FLAIR magnetic resonance.
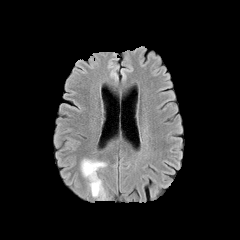
T1-weighted MRI.
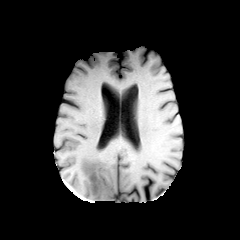
Post-contrast T1-weighted MRI.
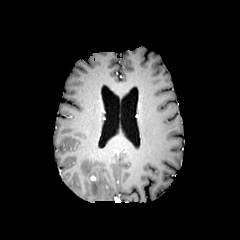
T2-weighted MR.
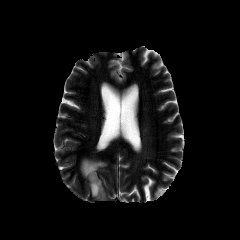
Head; Axial slice
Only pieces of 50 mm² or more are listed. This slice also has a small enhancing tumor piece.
peritumoral_edema:
  - 81,159,106,200